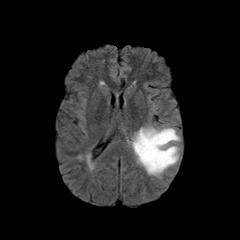
FLAIR magnetic resonance.
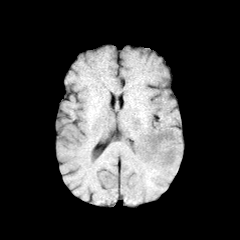
T1-weighted MR.
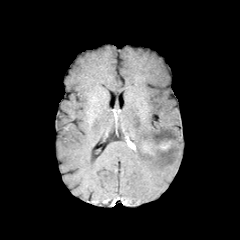
Same slice, post-contrast T1-weighted MRI.
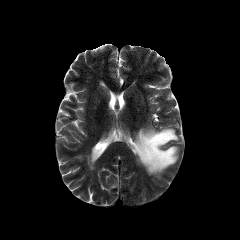
T2-weighted MR image of the same slice.
Head | 240x240 px
<segmentation>
  <enhancing_tumor>142,142,168,154</enhancing_tumor>
  <peritumoral_edema>132,126,180,177</peritumoral_edema>
</segmentation>